Axial slice, Head
FLAIR MR image.
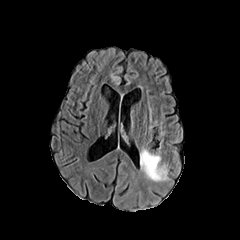
T1-weighted magnetic resonance.
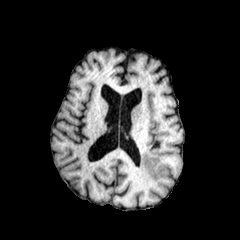
Post-contrast T1-weighted MR image.
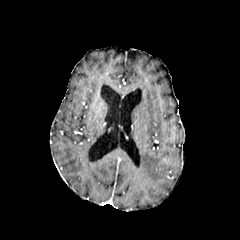
T2-weighted MR.
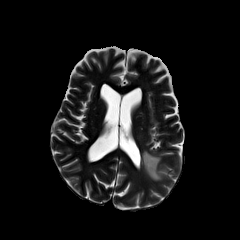
peritumoral edema: [140,149,168,181]